FLAIR MR.
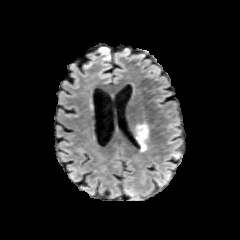
T1-weighted MR.
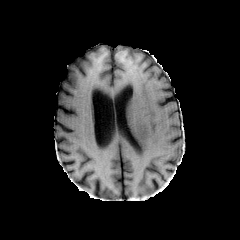
Post-contrast T1-weighted MR.
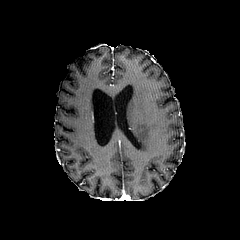
T2-weighted MR.
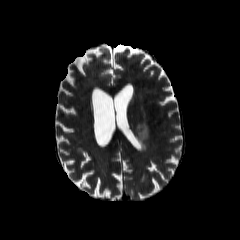
Axial view | Image size 240x240
The peritumoral edema is bounded by 132, 122, 148, 151.